FLAIR MR.
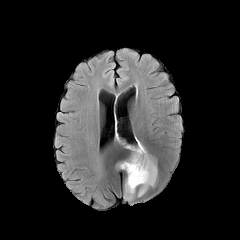
T1-weighted magnetic resonance.
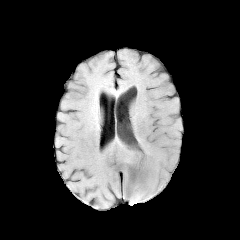
Post-contrast T1-weighted MR image.
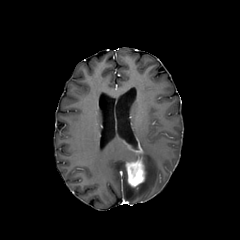
T2-weighted MR image.
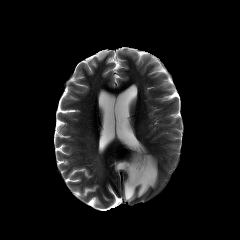
Axial plane, Brain, 240x240
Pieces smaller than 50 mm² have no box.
- enhancing tumor: box=[127, 143, 143, 153]; box=[125, 156, 145, 187]
- peritumoral edema: box=[116, 143, 157, 201]